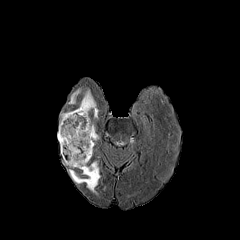
FLAIR magnetic resonance.
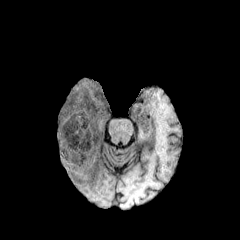
T1-weighted MRI of the same slice.
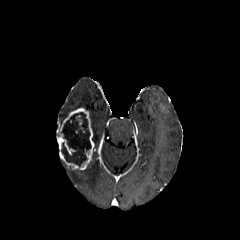
Post-contrast T1-weighted MRI of the same slice.
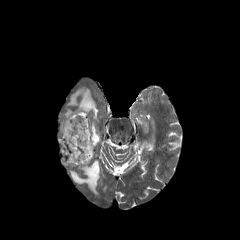
T2-weighted magnetic resonance.
Head, Axial view
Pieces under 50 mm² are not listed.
Segmented structures:
• necrotic tumor core: [61,112,91,166]
• enhancing tumor: [58,107,94,169]
• peritumoral edema: [60,110,70,124], [91,122,98,144], [69,161,100,193], [68,89,98,119]